Head; Axial plane
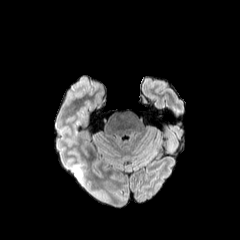
FLAIR magnetic resonance.
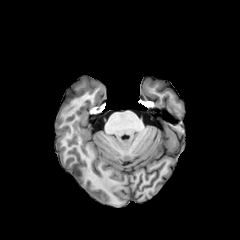
Same slice, T1-weighted magnetic resonance.
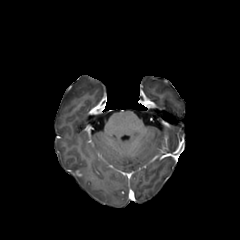
Post-contrast T1-weighted MR image.
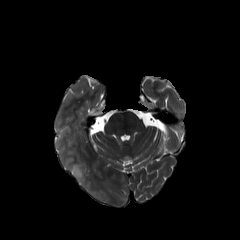
Same slice, T2-weighted MRI.
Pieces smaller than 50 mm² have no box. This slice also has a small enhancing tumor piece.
The peritumoral edema is located at {"x1": 72, "y1": 165, "x2": 84, "y2": 185}.